Slice index 96 | Image width 240 mm, 1.00 mm slice spacing | 240x240 px
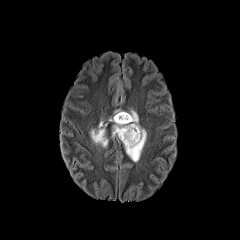
FLAIR MR.
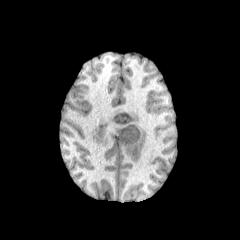
T1-weighted magnetic resonance.
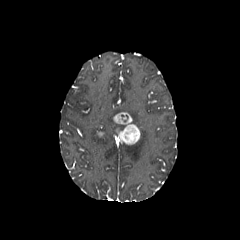
Same slice, post-contrast T1-weighted magnetic resonance.
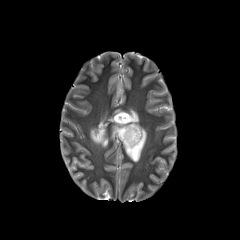
T2-weighted MRI.
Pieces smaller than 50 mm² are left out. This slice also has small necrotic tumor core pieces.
The largest enhancing tumor region is at l=113, t=112, r=140, b=144. The 3 largest peritumoral edema regions are located at l=123, t=109, r=146, b=162; l=112, t=123, r=125, b=137; l=90, t=121, r=108, b=147.